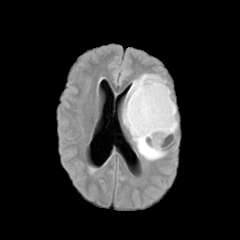
FLAIR MR.
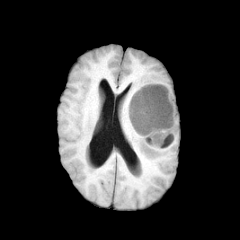
T1-weighted MR of the same slice.
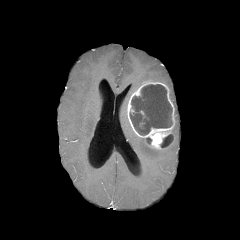
Same slice, post-contrast T1-weighted MR.
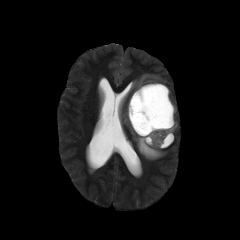
Same slice, T2-weighted magnetic resonance.
Brain | Axial slice
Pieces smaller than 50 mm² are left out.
The largest peritumoral edema region is located at bbox=[122, 73, 166, 160]. The largest enhancing tumor region appears at bbox=[127, 80, 175, 149]. The 2 largest necrotic tumor core regions are bounded by bbox=[160, 135, 173, 147]; bbox=[130, 84, 172, 135].